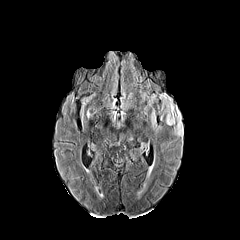
FLAIR magnetic resonance.
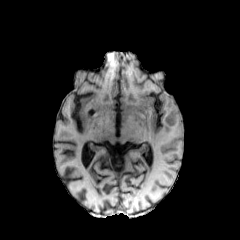
Same slice, T1-weighted magnetic resonance.
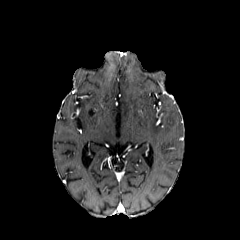
Post-contrast T1-weighted MR.
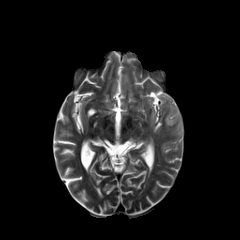
Same slice, T2-weighted MR image.
240x240
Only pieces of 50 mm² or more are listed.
Findings:
* peritumoral edema: (left=160, top=95, right=183, bottom=136)